Slice 87/155, 240x240, Axial view, Brain
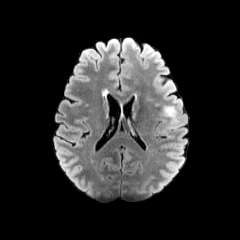
FLAIR MR.
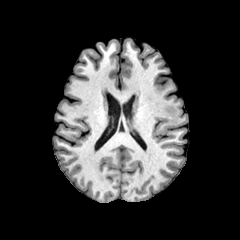
T1-weighted MR image.
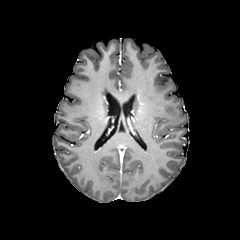
Same slice, post-contrast T1-weighted MR.
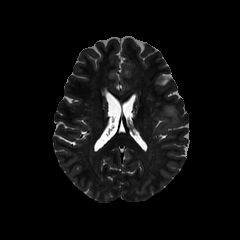
T2-weighted MR image.
peritumoral edema: left=164, top=106, right=177, bottom=125